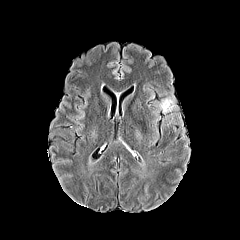
FLAIR MR.
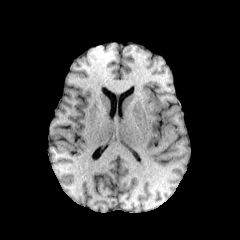
T1-weighted MR image.
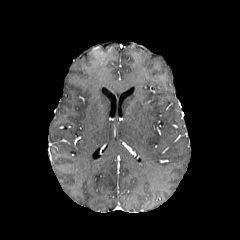
Post-contrast T1-weighted magnetic resonance.
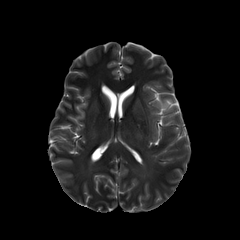
T2-weighted MR image of the same slice.
240x240.
The peritumoral edema is at box=[162, 98, 173, 113].